FLAIR MR image.
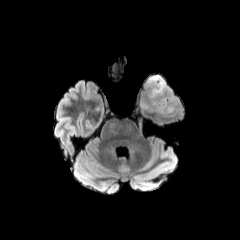
T1-weighted MR.
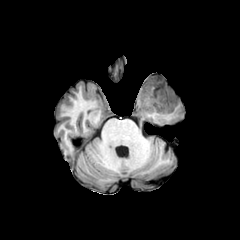
Post-contrast T1-weighted MR.
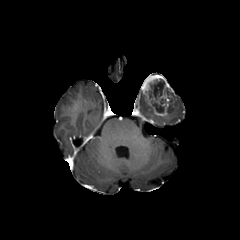
T2-weighted magnetic resonance.
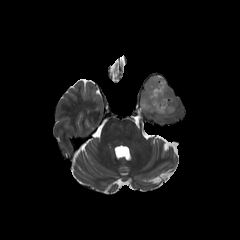
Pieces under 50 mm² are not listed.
The largest necrotic tumor core region lies within [x1=149, y1=79, x2=165, y2=113]. The enhancing tumor is bounded by [x1=142, y1=74, x2=173, y2=116]. 2 peritumoral edema regions appear at [x1=140, y1=92, x2=152, y2=112], [x1=168, y1=95, x2=178, y2=115].